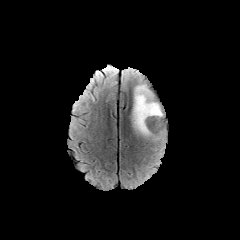
FLAIR MRI.
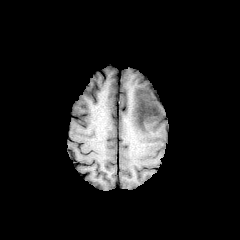
T1-weighted magnetic resonance of the same slice.
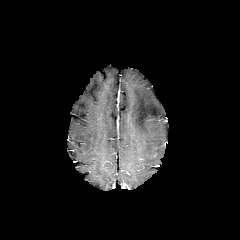
Post-contrast T1-weighted MR.
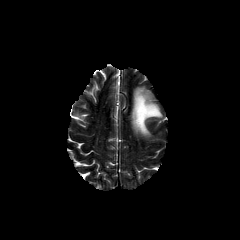
T2-weighted MR.
240x240 px
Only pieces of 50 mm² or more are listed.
peritumoral edema = (x1=131, y1=84, x2=163, y2=137)